FLAIR MR image.
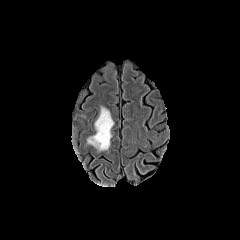
T1-weighted MR image.
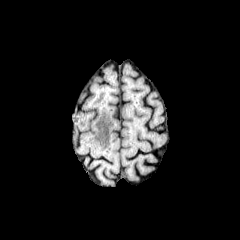
Post-contrast T1-weighted MR image.
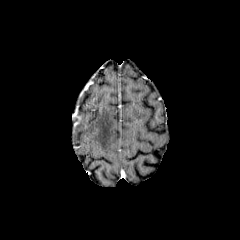
T2-weighted MRI.
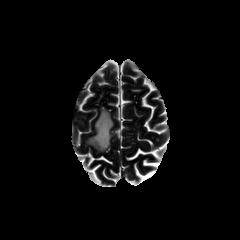
Axial slice, Image size 240x240
The peritumoral edema is at (x1=87, y1=107, x2=113, y2=150).